Axial slice; Slice 101/155
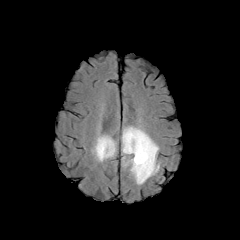
FLAIR MRI.
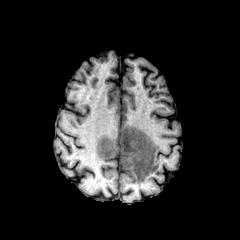
T1-weighted MRI of the same slice.
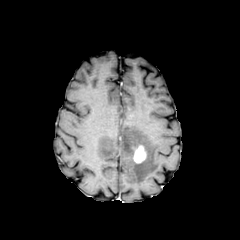
Same slice, post-contrast T1-weighted MR.
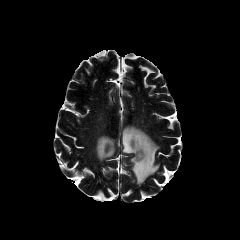
T2-weighted MR.
2 peritumoral edema regions appear at box=[92, 135, 115, 161]; box=[121, 126, 159, 184]. The enhancing tumor is at box=[132, 145, 146, 163].